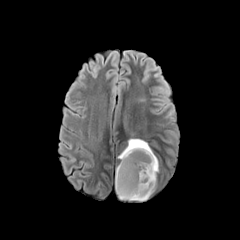
FLAIR MR image.
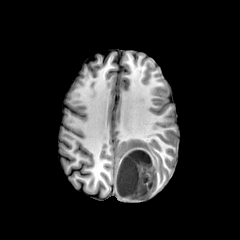
T1-weighted MR image.
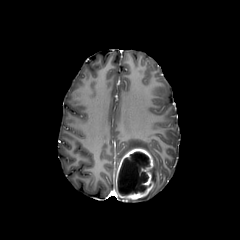
Post-contrast T1-weighted MR of the same slice.
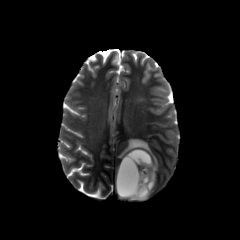
T2-weighted MR image of the same slice.
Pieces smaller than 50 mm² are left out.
{
  "necrotic_tumor_core": [
    "117, 152, 150, 195"
  ],
  "enhancing_tumor": [
    "116, 148, 154, 200"
  ],
  "peritumoral_edema": [
    "129, 186, 154, 200",
    "118, 139, 158, 184"
  ]
}